Slice index 99.
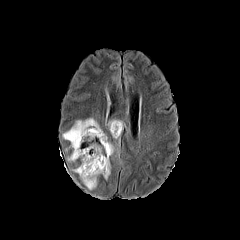
FLAIR MR image.
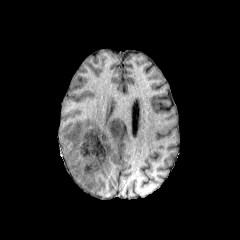
T1-weighted MR image.
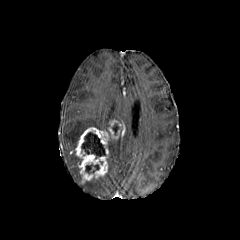
Post-contrast T1-weighted MR of the same slice.
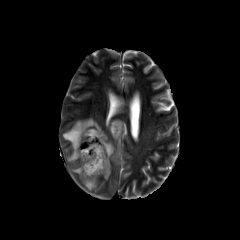
T2-weighted MR.
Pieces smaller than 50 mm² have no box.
enhancing tumor — (75,127,109,182), (108,119,123,139)
necrotic tumor core — (85,164,99,173), (81,132,105,158), (112,124,119,134)
peritumoral edema — (104,141,119,179), (83,178,96,190), (62,118,101,161)